240x240. Image covers 240 mm x 240 mm.
FLAIR MR.
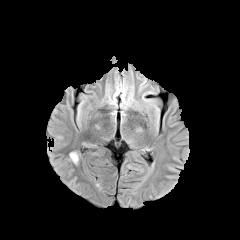
T1-weighted magnetic resonance.
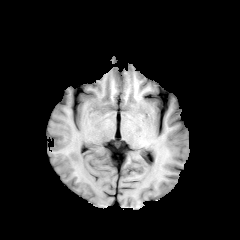
Post-contrast T1-weighted MR image.
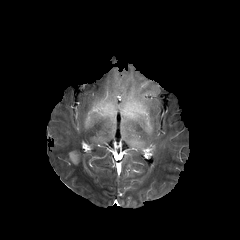
T2-weighted MR.
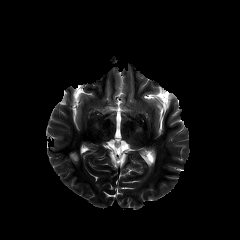
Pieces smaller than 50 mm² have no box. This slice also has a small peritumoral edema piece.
The enhancing tumor is at <box>70,152,77,163</box>.